FLAIR MR image.
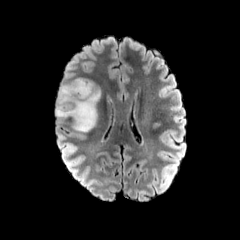
T1-weighted magnetic resonance.
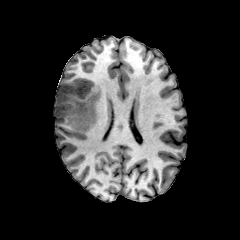
Post-contrast T1-weighted magnetic resonance.
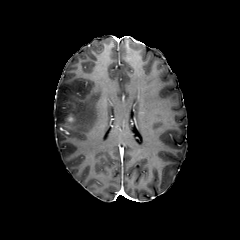
T2-weighted MRI.
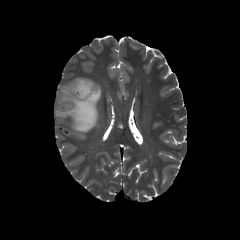
Head, Axial slice
peritumoral_edema:
  - bbox=[55, 78, 101, 131]
enhancing_tumor:
  - bbox=[66, 112, 75, 121]